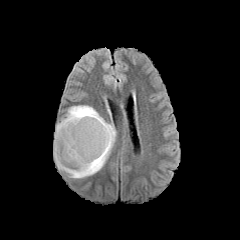
FLAIR MRI.
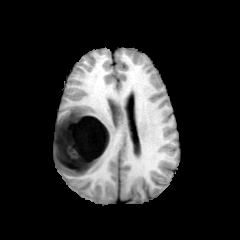
Same slice, T1-weighted magnetic resonance.
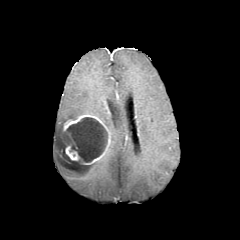
Post-contrast T1-weighted MR image of the same slice.
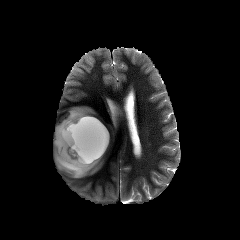
T2-weighted MR image.
Axial plane, Image size 240x240
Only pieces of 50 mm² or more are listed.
peritumoral edema: 53 105 115 178 | necrotic tumor core: 67 117 107 162 | enhancing tumor: 60 114 110 164